Brain; Image covers 240 mm x 240 mm; Axial slice
FLAIR magnetic resonance.
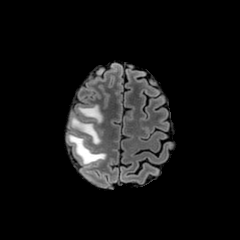
T1-weighted magnetic resonance.
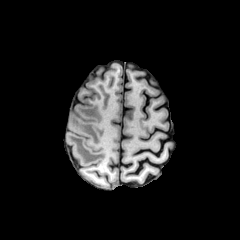
Post-contrast T1-weighted MR.
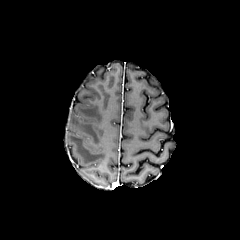
T2-weighted MRI.
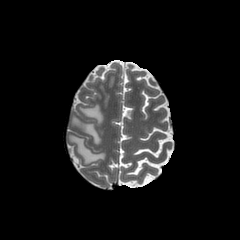
peritumoral edema: bbox=[67, 134, 105, 164]; bbox=[79, 105, 102, 123]; bbox=[71, 115, 100, 144]